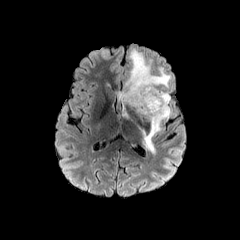
FLAIR MR.
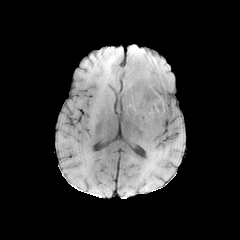
T1-weighted MR.
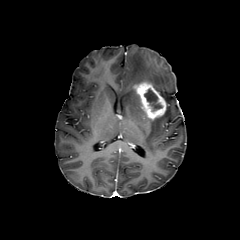
Post-contrast T1-weighted MR.
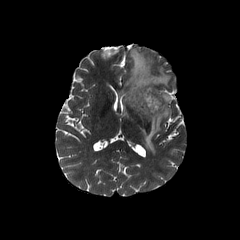
Same slice, T2-weighted magnetic resonance.
240x240 px, Axial plane
{
  "necrotic_tumor_core": [
    "region(144, 89, 162, 110)"
  ],
  "enhancing_tumor": [
    "region(133, 81, 166, 120)"
  ],
  "peritumoral_edema": [
    "region(117, 49, 171, 152)"
  ]
}